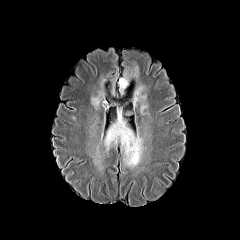
FLAIR magnetic resonance.
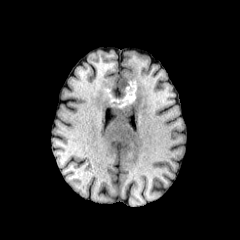
T1-weighted magnetic resonance of the same slice.
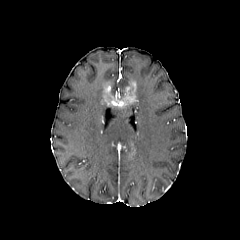
Same slice, post-contrast T1-weighted MRI.
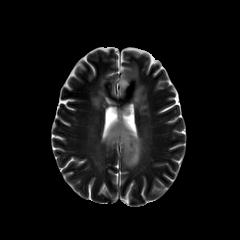
T2-weighted MR of the same slice.
Brain, Axial slice
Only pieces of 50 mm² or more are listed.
The 4 largest peritumoral edema regions are bounded by [x1=103, y1=114, x2=144, y2=167], [x1=91, y1=78, x2=105, y2=109], [x1=118, y1=66, x2=138, y2=93], [x1=131, y1=83, x2=147, y2=113].